FLAIR MRI.
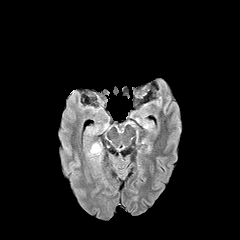
T1-weighted magnetic resonance.
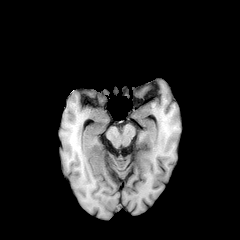
Post-contrast T1-weighted MR image.
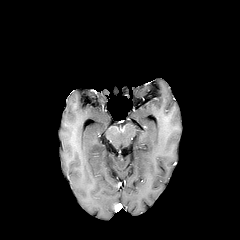
T2-weighted magnetic resonance.
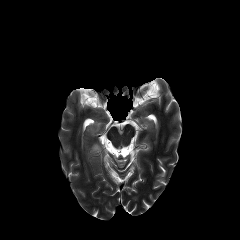
Brain
The peritumoral edema is located at x1=88 y1=143 x2=102 y2=162.